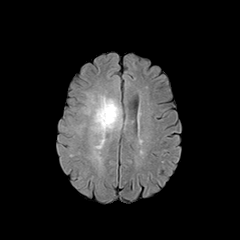
FLAIR magnetic resonance.
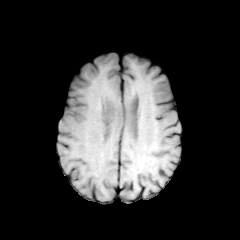
Same slice, T1-weighted MRI.
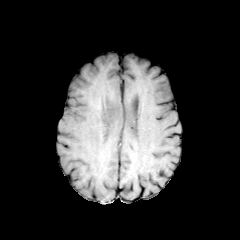
Post-contrast T1-weighted MR image of the same slice.
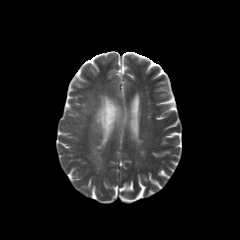
Same slice, T2-weighted MRI.
Brain; Axial slice
peritumoral edema = [83,95,122,149]